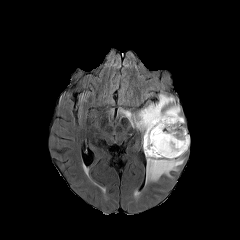
FLAIR MR.
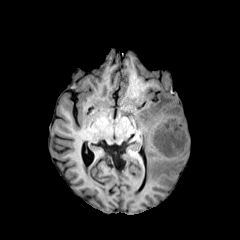
T1-weighted MR image.
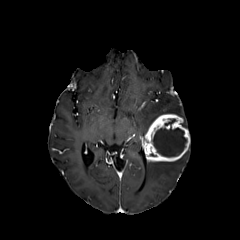
Post-contrast T1-weighted MR.
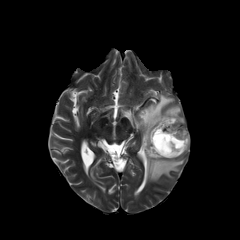
Same slice, T2-weighted MRI.
240x240, Axial slice, Brain
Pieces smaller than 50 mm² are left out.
The enhancing tumor is bounded by 143 114 190 161. The largest necrotic tumor core region appears at 152 127 186 156. 3 peritumoral edema regions are bounded by 134 94 181 137, 146 157 184 181, 119 107 133 126.